Axial view; Slice index 129
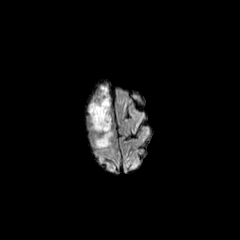
FLAIR MRI.
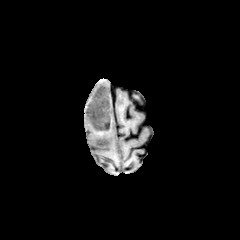
T1-weighted MR.
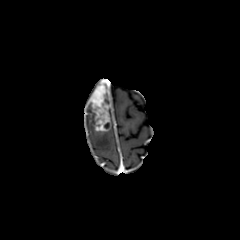
Post-contrast T1-weighted MR image of the same slice.
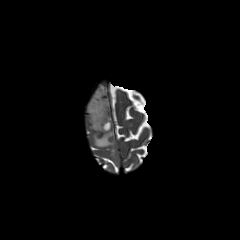
T2-weighted MR of the same slice.
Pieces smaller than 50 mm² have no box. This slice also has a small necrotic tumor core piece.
<segmentation>
  <enhancing_tumor>(left=91, top=85, right=110, bottom=131)</enhancing_tumor>
  <peritumoral_edema>(left=88, top=101, right=113, bottom=148), (left=104, top=86, right=110, bottom=103)</peritumoral_edema>
</segmentation>